FLAIR magnetic resonance.
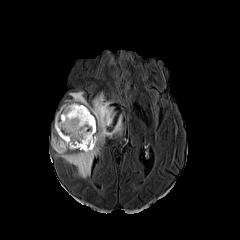
T1-weighted MR.
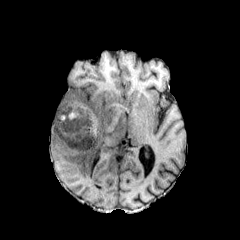
Post-contrast T1-weighted magnetic resonance.
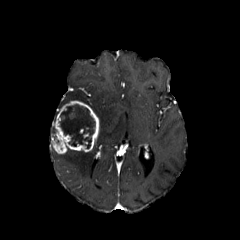
T2-weighted magnetic resonance.
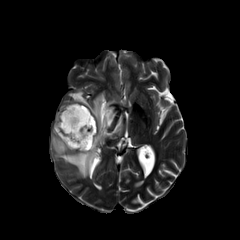
Image size 240x240, Axial plane, Head
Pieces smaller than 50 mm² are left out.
peritumoral edema — <bbox>55, 145, 97, 178</bbox>, <bbox>92, 92, 123, 144</bbox>, <bbox>69, 91, 88, 104</bbox>
necrotic tumor core — <bbox>59, 104, 95, 148</bbox>
enhancing tumor — <bbox>51, 100, 99, 153</bbox>